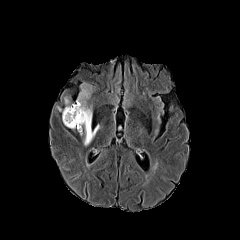
FLAIR magnetic resonance.
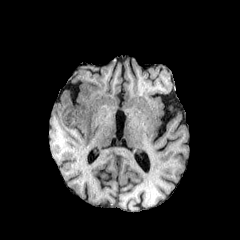
T1-weighted MRI.
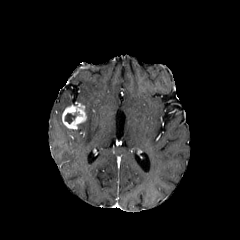
Post-contrast T1-weighted MR image.
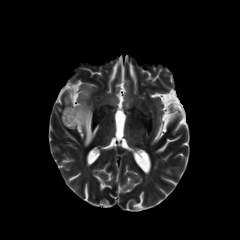
T2-weighted MRI of the same slice.
Brain
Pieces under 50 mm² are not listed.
Segmented structures:
* necrotic tumor core: (left=65, top=112, right=77, bottom=123)
* enhancing tumor: (left=62, top=102, right=86, bottom=129)
* peritumoral edema: (left=76, top=83, right=99, bottom=145)